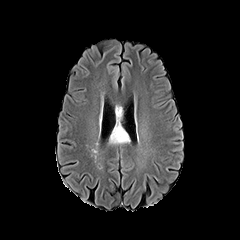
FLAIR MR image.
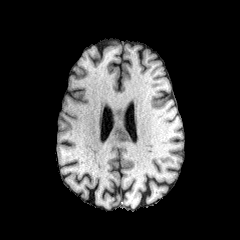
T1-weighted MR image of the same slice.
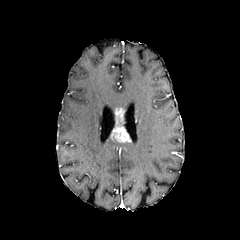
Post-contrast T1-weighted magnetic resonance.
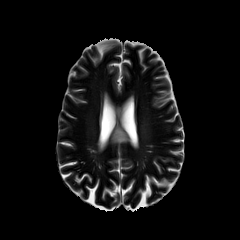
T2-weighted MR image of the same slice.
Axial slice
2 peritumoral edema regions are bounded by rect(116, 104, 122, 126); rect(109, 136, 121, 143). The enhancing tumor lies within rect(111, 126, 129, 142).